Brain.
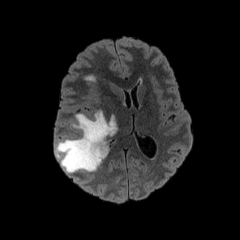
FLAIR MRI.
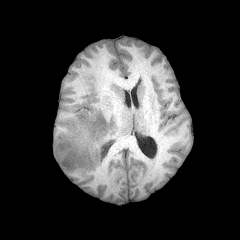
T1-weighted magnetic resonance.
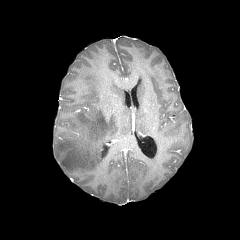
Same slice, post-contrast T1-weighted magnetic resonance.
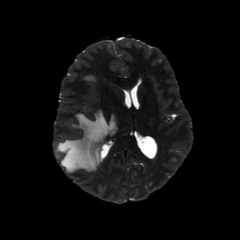
Same slice, T2-weighted MRI.
2 peritumoral edema regions are located at (left=84, top=75, right=95, bottom=81), (left=55, top=110, right=117, bottom=172).